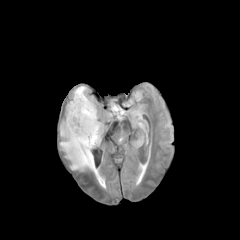
FLAIR MRI.
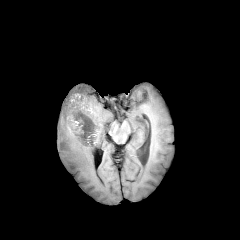
Same slice, T1-weighted magnetic resonance.
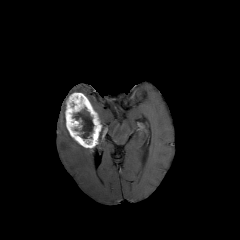
Post-contrast T1-weighted MR image.
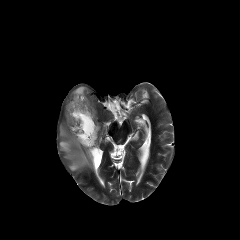
T2-weighted MRI of the same slice.
Head, 240x240
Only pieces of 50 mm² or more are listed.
peritumoral_edema:
  - [60,122,96,172]
  - [74,86,86,95]
necrotic_tumor_core:
  - [73,107,93,138]
enhancing_tumor:
  - [65,92,101,150]